FLAIR MRI.
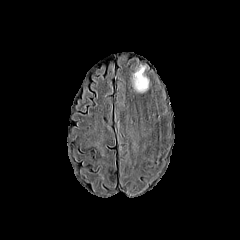
T1-weighted MR image.
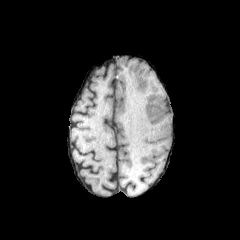
Post-contrast T1-weighted magnetic resonance.
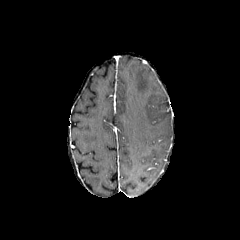
T2-weighted MRI.
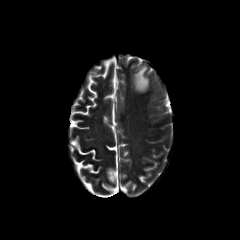
Head, Axial view
<segmentation>
  <peritumoral_edema>{"x1": 133, "y1": 66, "x2": 148, "y2": 92}</peritumoral_edema>
</segmentation>